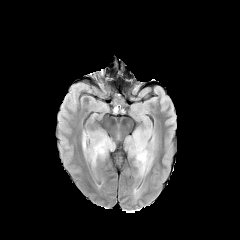
FLAIR MR image.
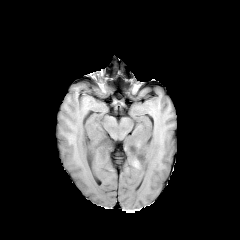
T1-weighted MRI.
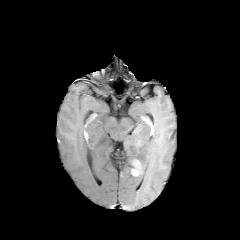
Post-contrast T1-weighted MR image.
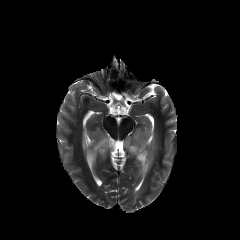
T2-weighted MR.
Axial slice
enhancing tumor: (x1=132, y1=162, x2=139, y2=175)
peritumoral edema: (x1=82, y1=131, x2=114, y2=166), (x1=126, y1=129, x2=154, y2=176)